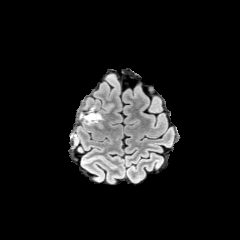
FLAIR magnetic resonance.
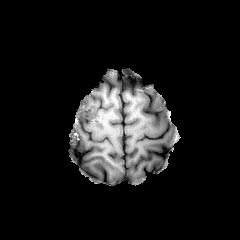
T1-weighted magnetic resonance.
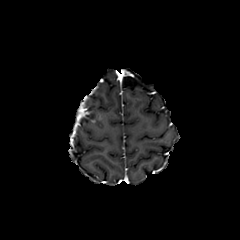
Post-contrast T1-weighted magnetic resonance of the same slice.
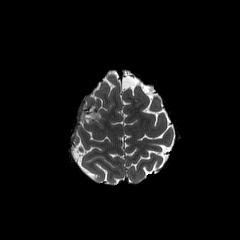
Same slice, T2-weighted MR image.
Axial plane, 240x240 px
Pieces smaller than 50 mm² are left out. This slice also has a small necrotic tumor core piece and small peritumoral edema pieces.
Annotated regions:
• enhancing tumor: (left=83, top=110, right=102, bottom=122)